Axial slice, Brain
FLAIR magnetic resonance.
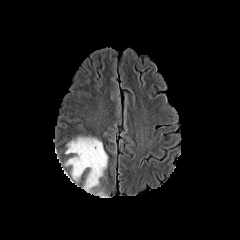
T1-weighted MR image.
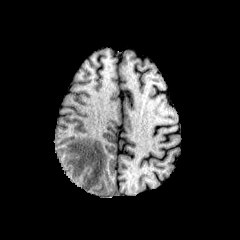
Post-contrast T1-weighted MR.
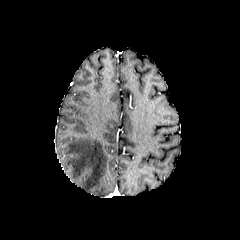
T2-weighted MR.
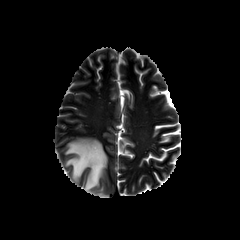
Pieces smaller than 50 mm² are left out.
{"peritumoral_edema": ["x1=65, y1=137, x2=107, y2=192"]}